FLAIR MRI.
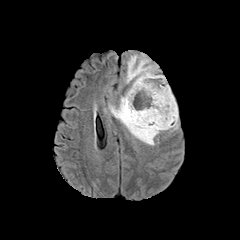
T1-weighted MRI.
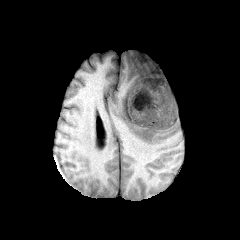
Post-contrast T1-weighted MR image.
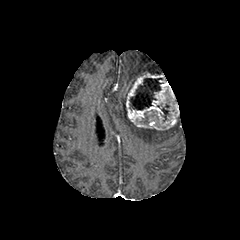
T2-weighted MR.
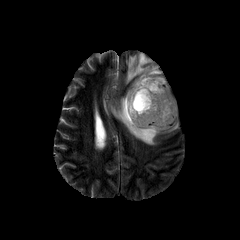
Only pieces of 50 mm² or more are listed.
enhancing tumor = x1=125 y1=72 x2=178 y2=130
necrotic tumor core = x1=130 y1=78 x2=162 y2=110, x1=161 y1=104 x2=169 y2=121
peritumoral edema = x1=109 y1=92 x2=162 y2=145, x1=164 y1=118 x2=178 y2=131, x1=125 y1=54 x2=159 y2=83